FLAIR MR image.
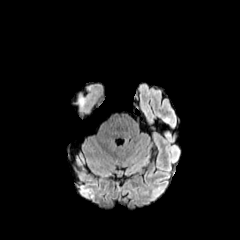
T1-weighted MR image.
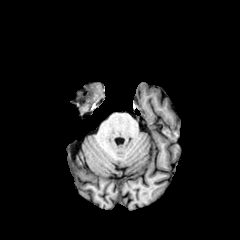
Post-contrast T1-weighted MRI.
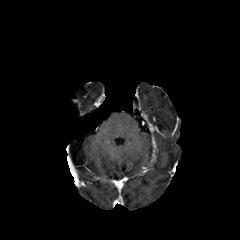
T2-weighted MR image.
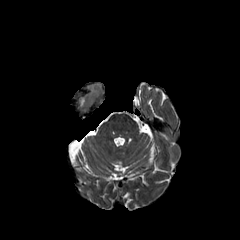
240x240, Axial plane
<segmentation>
  <peritumoral_edema>[77,86,99,108]</peritumoral_edema>
</segmentation>